Slice 128 of 155. Brain.
FLAIR MR image.
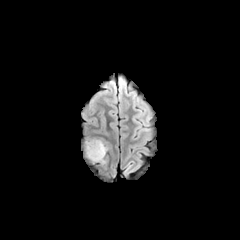
T1-weighted MRI.
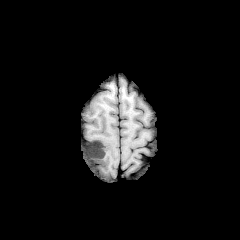
Post-contrast T1-weighted magnetic resonance.
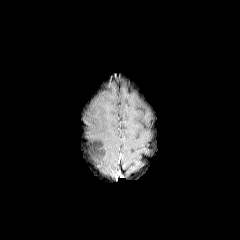
T2-weighted MR image.
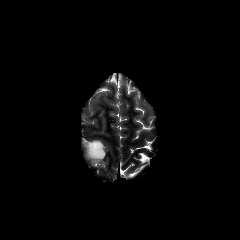
peritumoral edema: bounding box (84,140,107,164)